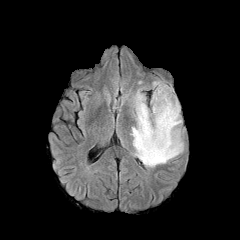
FLAIR magnetic resonance.
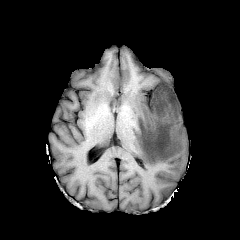
T1-weighted MRI.
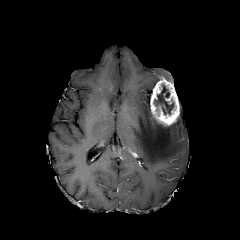
Post-contrast T1-weighted MRI of the same slice.
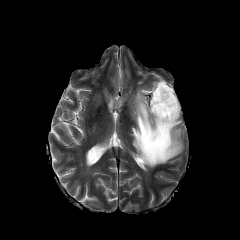
T2-weighted magnetic resonance.
Brain
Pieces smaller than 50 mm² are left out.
Annotated regions:
- enhancing tumor: (left=150, top=77, right=179, bottom=126)
- peritumoral edema: (left=131, top=90, right=183, bottom=167)
- necrotic tumor core: (left=154, top=85, right=173, bottom=114)